FLAIR MR.
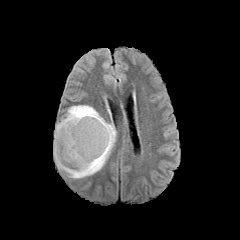
T1-weighted magnetic resonance.
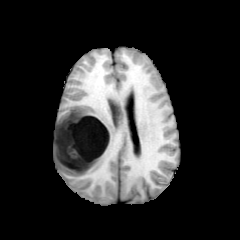
Post-contrast T1-weighted MRI.
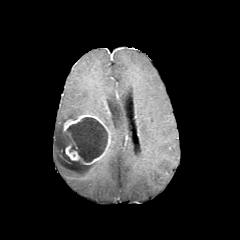
T2-weighted MR image.
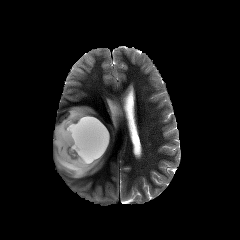
Head. 240x240 px.
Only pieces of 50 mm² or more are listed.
necrotic tumor core: x1=67, y1=117, x2=108, y2=162 | enhancing tumor: x1=60, y1=114, x2=110, y2=164 | peritumoral edema: x1=53, y1=105, x2=115, y2=178